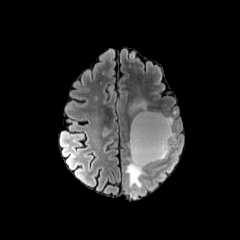
FLAIR MR.
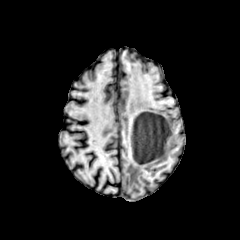
T1-weighted magnetic resonance.
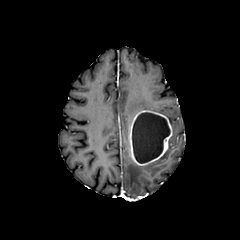
Post-contrast T1-weighted MRI of the same slice.
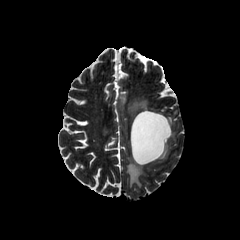
T2-weighted magnetic resonance of the same slice.
Axial slice | Head | 240x240 px
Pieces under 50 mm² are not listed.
enhancing tumor = 129:110:172:165
peritumoral edema = 128:98:151:114, 126:158:144:188
necrotic tumor core = 132:112:169:163